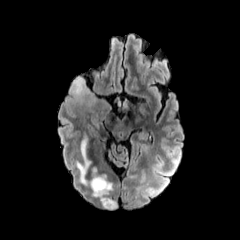
FLAIR magnetic resonance.
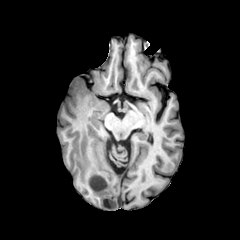
T1-weighted magnetic resonance.
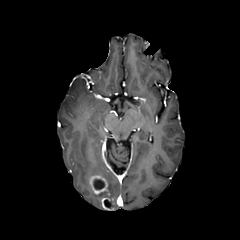
Post-contrast T1-weighted magnetic resonance.
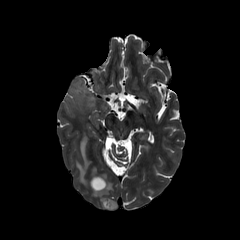
T2-weighted MRI of the same slice.
Image size 240x240
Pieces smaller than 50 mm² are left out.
enhancing tumor: bbox(88, 174, 108, 194); bbox(101, 197, 114, 209)
peritumoral edema: bbox(92, 175, 112, 200); bbox(77, 136, 89, 184); bbox(69, 77, 96, 107)
necrotic tumor core: bbox(94, 179, 104, 189); bbox(104, 199, 112, 208)